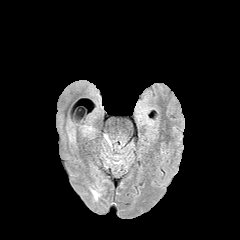
FLAIR magnetic resonance.
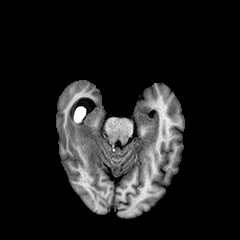
T1-weighted magnetic resonance of the same slice.
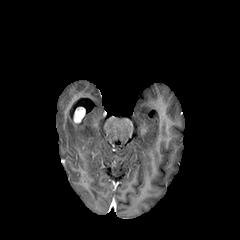
Same slice, post-contrast T1-weighted MR.
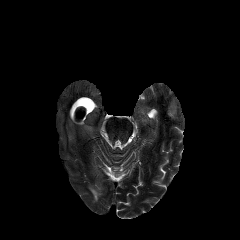
T2-weighted MR.
Head; Axial slice
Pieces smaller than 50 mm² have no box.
The 3 largest peritumoral edema regions are located at l=69, t=130, r=74, b=141; l=83, t=126, r=93, b=133; l=89, t=186, r=102, b=200.